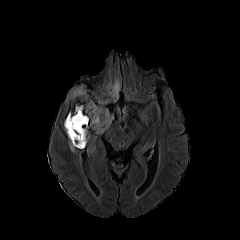
FLAIR MR image.
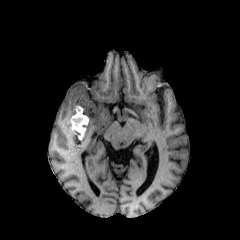
Same slice, T1-weighted magnetic resonance.
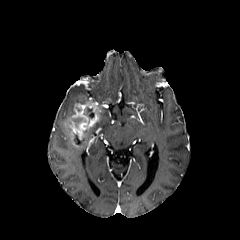
Post-contrast T1-weighted MR image.
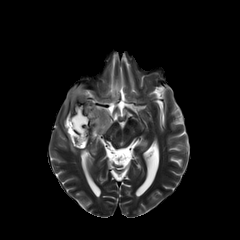
T2-weighted MRI.
Axial plane; Image size 240x240
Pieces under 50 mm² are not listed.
{
  "peritumoral_edema": [
    "<box>66,85,87,103</box>",
    "<box>91,107,113,132</box>",
    "<box>64,125,85,152</box>",
    "<box>107,79,120,101</box>"
  ],
  "enhancing_tumor": [
    "<box>64,95,102,147</box>"
  ],
  "necrotic_tumor_core": [
    "<box>74,134,85,146</box>",
    "<box>72,117,83,127</box>",
    "<box>77,97,88,103</box>",
    "<box>86,107,94,117</box>"
  ]
}